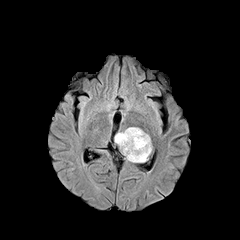
FLAIR MR image.
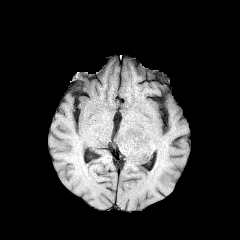
T1-weighted MRI of the same slice.
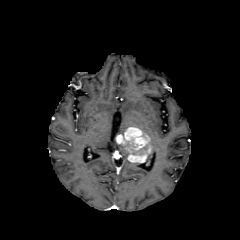
Post-contrast T1-weighted MR.
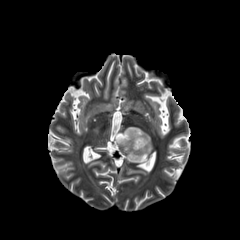
T2-weighted MR of the same slice.
Brain. 240x240 px. Axial view.
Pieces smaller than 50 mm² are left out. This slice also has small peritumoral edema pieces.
• enhancing tumor: left=115, top=127, right=151, bottom=162